Slice 76/155
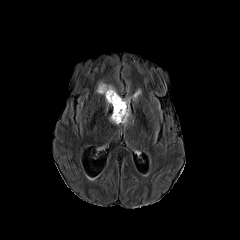
FLAIR MR image.
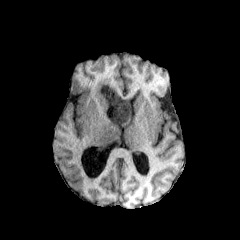
T1-weighted MRI.
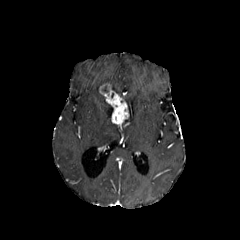
Same slice, post-contrast T1-weighted MR.
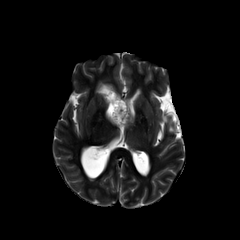
T2-weighted MR of the same slice.
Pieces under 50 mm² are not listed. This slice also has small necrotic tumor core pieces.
<segmentation>
  <enhancing_tumor>bbox=[99, 84, 128, 124]</enhancing_tumor>
  <peritumoral_edema>bbox=[124, 97, 130, 116]</peritumoral_edema>
</segmentation>